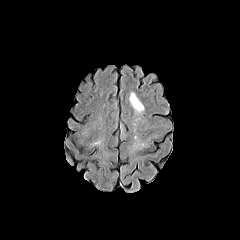
FLAIR MR.
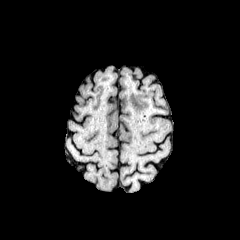
T1-weighted MRI.
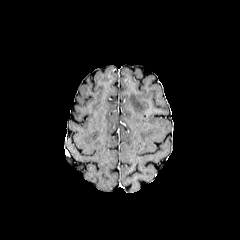
Same slice, post-contrast T1-weighted MRI.
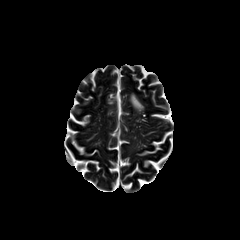
T2-weighted MR image of the same slice.
Brain | Axial slice
Annotated regions:
• peritumoral edema: region(129, 92, 143, 112)